FLAIR MR image.
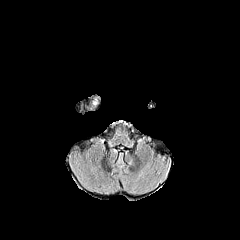
T1-weighted MRI.
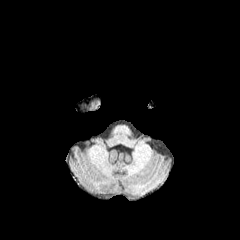
Post-contrast T1-weighted MR image.
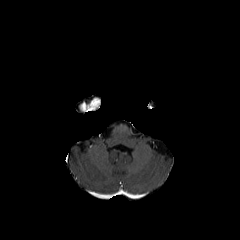
T2-weighted MR.
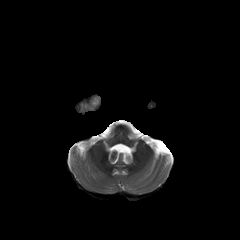
Axial view | Head
Annotated regions:
- enhancing tumor: {"x1": 80, "y1": 98, "x2": 100, "y2": 111}